FLAIR MRI.
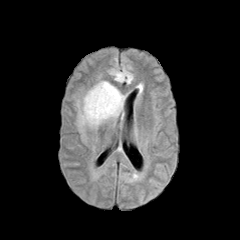
T1-weighted MR image.
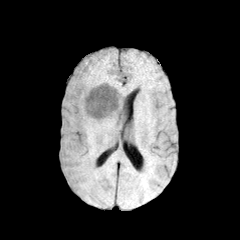
Post-contrast T1-weighted magnetic resonance.
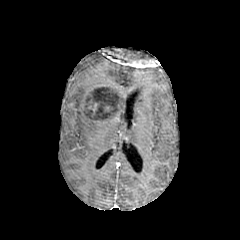
T2-weighted magnetic resonance.
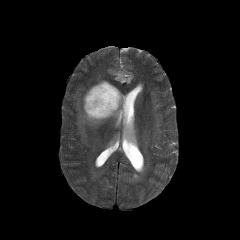
Head
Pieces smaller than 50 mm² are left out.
The 2 largest enhancing tumor regions are bounded by (107,86,120,119), (87,84,109,97). 2 peritumoral edema regions are located at (108,67,133,84), (76,80,123,132). The necrotic tumor core is located at (86,86,118,118).